Brain. 240x240 px. Slice index 109.
FLAIR MRI.
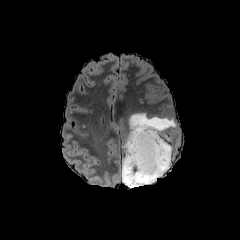
T1-weighted MR image.
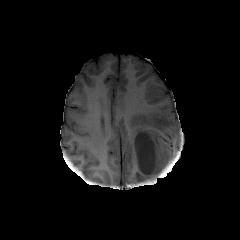
Post-contrast T1-weighted magnetic resonance.
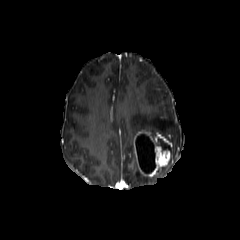
T2-weighted MR.
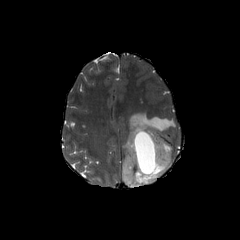
peritumoral_edema:
  - left=122, top=113, right=176, bottom=187
necrotic_tumor_core:
  - left=135, top=133, right=155, bottom=173
enhancing_tumor:
  - left=133, top=130, right=171, bottom=178